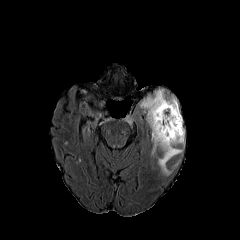
FLAIR MR image.
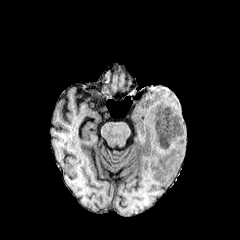
Same slice, T1-weighted MR.
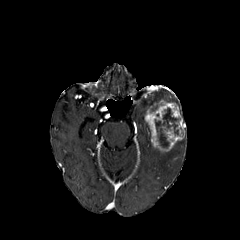
Same slice, post-contrast T1-weighted MR.
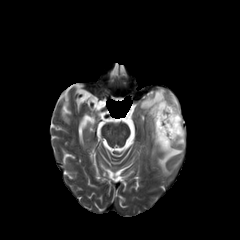
T2-weighted MR image.
Image size 240x240 | Axial view | Head
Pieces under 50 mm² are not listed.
The 2 largest peritumoral edema regions are bounded by [140,89,178,113], [158,138,184,175]. The largest necrotic tumor core region is located at [155,108,178,146]. The enhancing tumor is at [145,99,185,152].